FLAIR magnetic resonance.
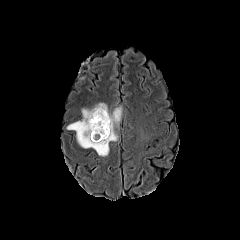
T1-weighted MRI.
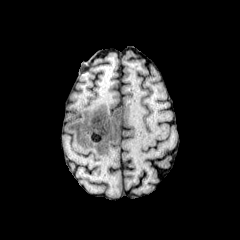
Post-contrast T1-weighted MR image.
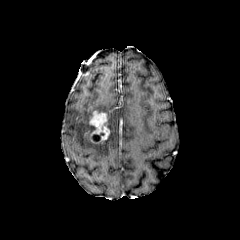
T2-weighted magnetic resonance.
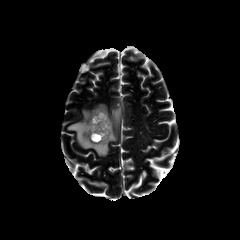
Axial slice
The necrotic tumor core lies within x1=92, y1=133, x2=104, y2=141. The peritumoral edema is bounded by x1=67, y1=103, x2=121, y2=156. The enhancing tumor lies within x1=89, y1=111, x2=109, y2=143.